FLAIR MR.
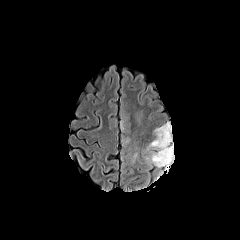
T1-weighted magnetic resonance.
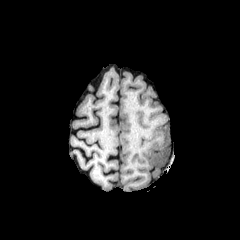
Post-contrast T1-weighted magnetic resonance.
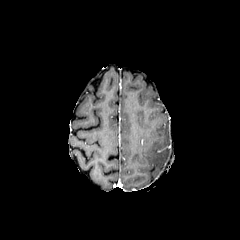
T2-weighted MRI.
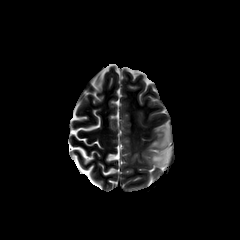
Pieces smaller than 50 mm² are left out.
The 2 largest peritumoral edema regions are located at (146, 122, 173, 168), (120, 115, 131, 146).